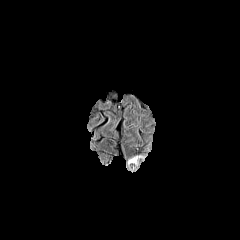
FLAIR MR image.
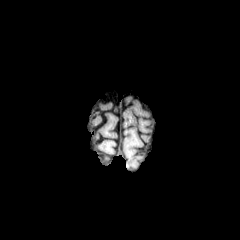
Same slice, T1-weighted MRI.
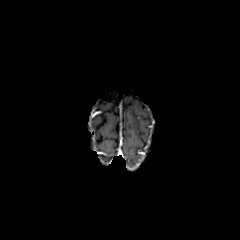
Post-contrast T1-weighted MRI.
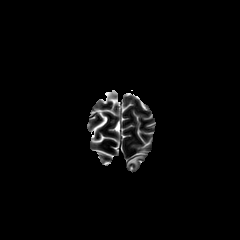
T2-weighted MR of the same slice.
Axial plane
The peritumoral edema is at [x1=128, y1=155, x2=143, y2=167].